FLAIR MRI.
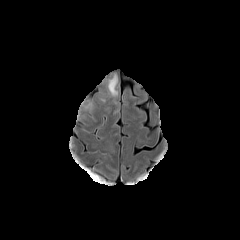
T1-weighted MRI.
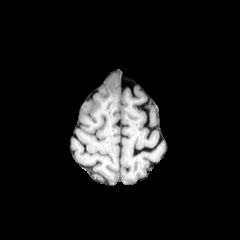
Post-contrast T1-weighted magnetic resonance.
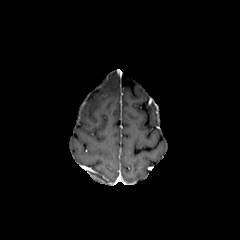
T2-weighted MRI.
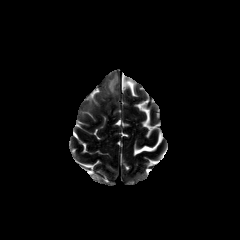
Head, Axial view
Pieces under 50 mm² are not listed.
peritumoral_edema:
  - left=107, top=73, right=119, bottom=97